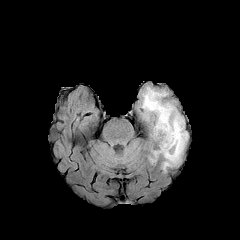
FLAIR MRI.
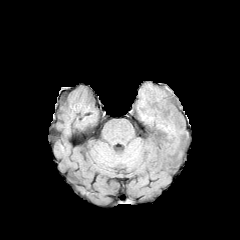
T1-weighted MR of the same slice.
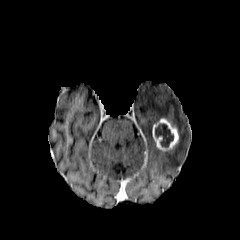
Same slice, post-contrast T1-weighted MR image.
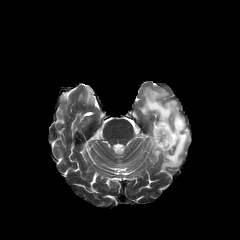
T2-weighted magnetic resonance.
240x240
{"enhancing_tumor": ["box(152, 118, 178, 150)"], "peritumoral_edema": ["box(140, 86, 188, 172)"], "necrotic_tumor_core": ["box(155, 124, 173, 147)"]}